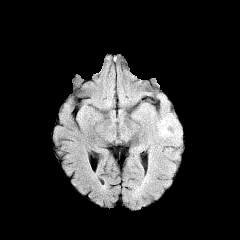
FLAIR MRI.
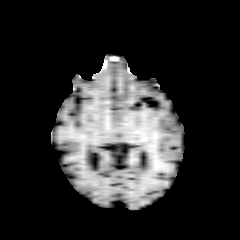
T1-weighted MR of the same slice.
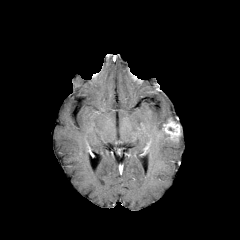
Post-contrast T1-weighted magnetic resonance.
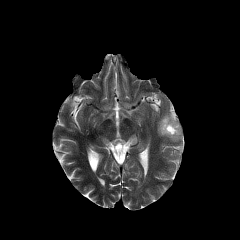
T2-weighted MRI.
240x240.
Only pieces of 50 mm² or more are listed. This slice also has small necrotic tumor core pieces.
enhancing_tumor:
  - 162, 117, 181, 141
peritumoral_edema:
  - 157, 114, 173, 137